FLAIR magnetic resonance.
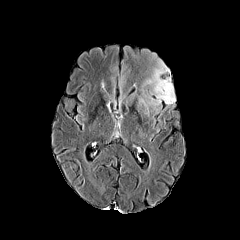
T1-weighted magnetic resonance.
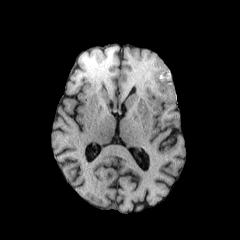
Post-contrast T1-weighted MR.
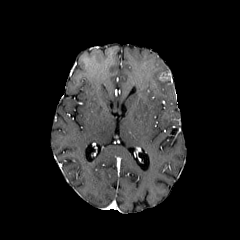
T2-weighted MR image.
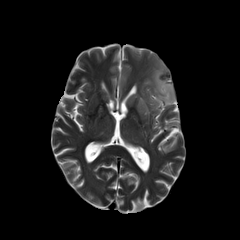
Brain. Axial slice.
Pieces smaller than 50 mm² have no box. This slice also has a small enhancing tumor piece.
The largest peritumoral edema region lies within l=144, t=53, r=175, b=110.